Image covers 240 mm x 240 mm | Brain
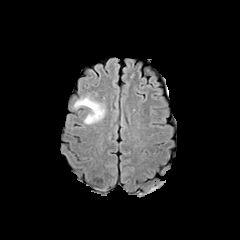
FLAIR MR image.
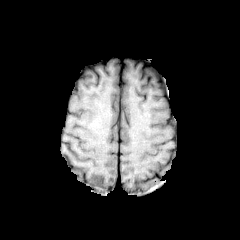
Same slice, T1-weighted magnetic resonance.
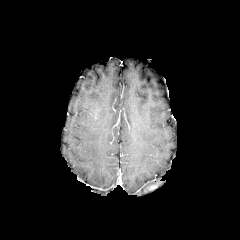
Same slice, post-contrast T1-weighted magnetic resonance.
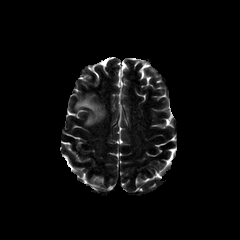
T2-weighted MR of the same slice.
Segmented structures:
- peritumoral edema: [x1=74, y1=95, x2=105, y2=124]